Slice 70/155
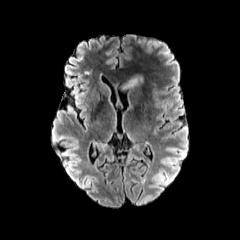
FLAIR MRI.
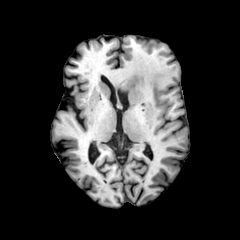
Same slice, T1-weighted MR image.
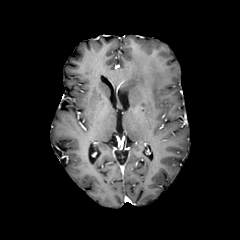
Post-contrast T1-weighted MR of the same slice.
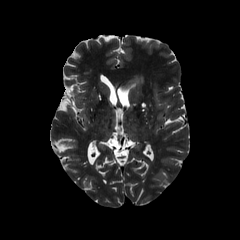
T2-weighted magnetic resonance.
peritumoral edema: [122,74,143,88]